Slice index 97; Head
FLAIR magnetic resonance.
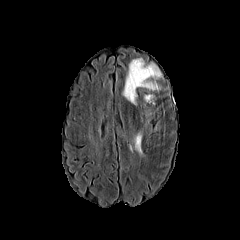
T1-weighted MR.
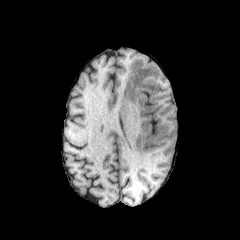
Post-contrast T1-weighted magnetic resonance.
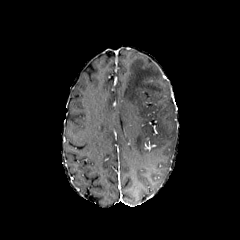
T2-weighted magnetic resonance.
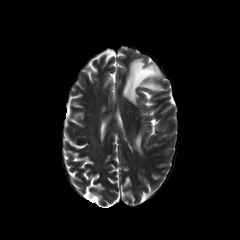
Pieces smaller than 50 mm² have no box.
Segmented structures:
- peritumoral edema: l=134, t=133, r=142, b=154; l=123, t=58, r=161, b=104